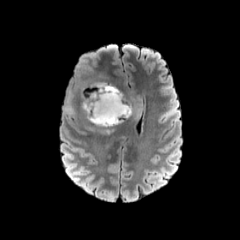
FLAIR MR image.
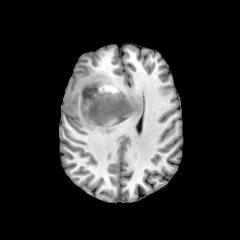
Same slice, T1-weighted MR image.
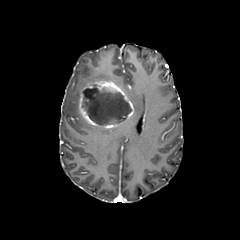
Post-contrast T1-weighted MR of the same slice.
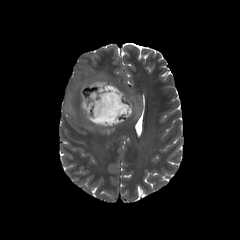
T2-weighted MR.
Axial slice
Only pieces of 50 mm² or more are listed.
enhancing_tumor:
  - rect(77, 81, 138, 128)
peritumoral_edema:
  - rect(87, 126, 114, 134)
  - rect(130, 95, 144, 119)
necrotic_tumor_core:
  - rect(82, 85, 131, 125)